Head | Axial view
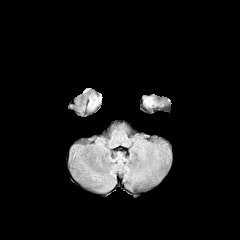
FLAIR MR.
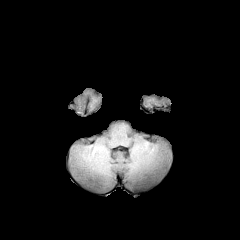
Same slice, T1-weighted MRI.
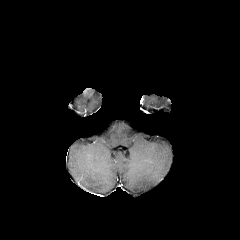
Post-contrast T1-weighted MR image.
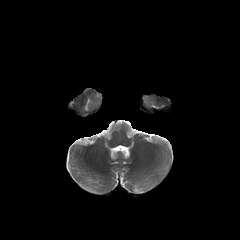
T2-weighted magnetic resonance of the same slice.
The peritumoral edema is bounded by <bbox>143, 97, 153, 106</bbox>.